Slice 45 of 155; 240x240 px; Brain
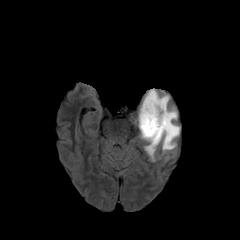
FLAIR magnetic resonance.
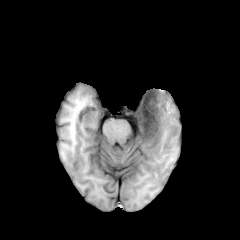
Same slice, T1-weighted magnetic resonance.
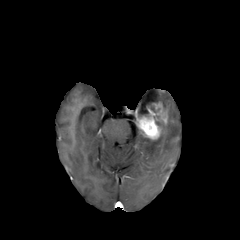
Post-contrast T1-weighted MRI.
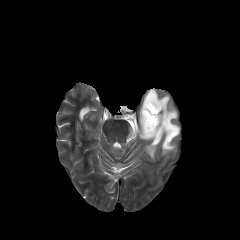
T2-weighted magnetic resonance.
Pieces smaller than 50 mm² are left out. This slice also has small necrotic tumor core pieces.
The peritumoral edema is bounded by region(138, 88, 180, 161). The enhancing tumor is at region(135, 101, 167, 139).